FLAIR MR image.
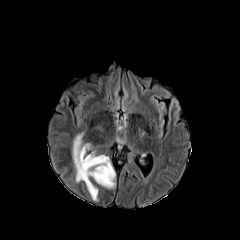
T1-weighted MR.
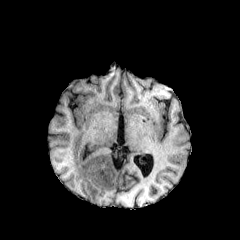
Post-contrast T1-weighted magnetic resonance.
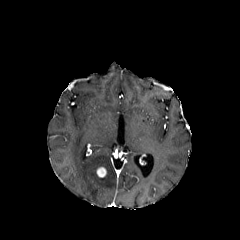
T2-weighted magnetic resonance.
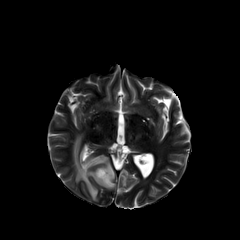
Head. 240x240 px.
enhancing tumor: bbox=[96, 167, 106, 177] | peritumoral edema: bbox=[73, 133, 115, 200]